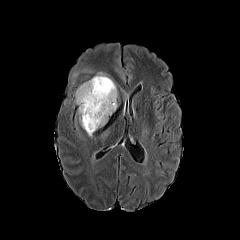
FLAIR magnetic resonance.
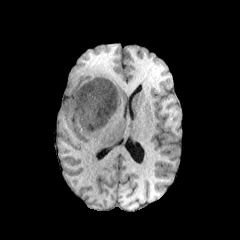
Same slice, T1-weighted MR.
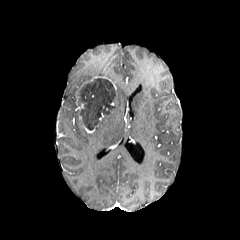
Same slice, post-contrast T1-weighted magnetic resonance.
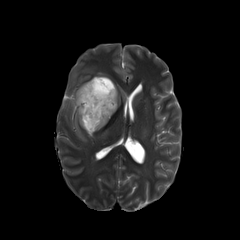
T2-weighted magnetic resonance of the same slice.
Head
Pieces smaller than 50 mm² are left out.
Findings:
• necrotic tumor core: l=78, t=78, r=115, b=130
• enhancing tumor: l=83, t=76, r=116, b=90
• peritumoral edema: l=95, t=90, r=117, b=130; l=74, t=84, r=84, b=105; l=78, t=109, r=84, b=128